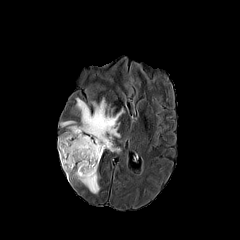
FLAIR MR image.
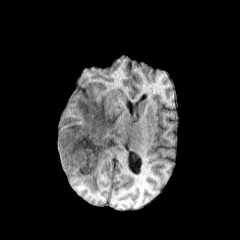
T1-weighted MRI.
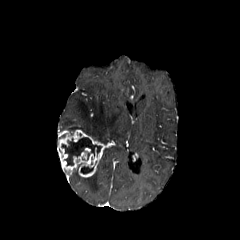
Same slice, post-contrast T1-weighted MR.
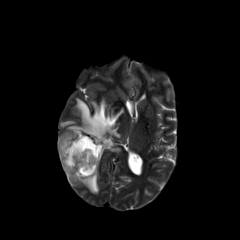
T2-weighted magnetic resonance.
Head
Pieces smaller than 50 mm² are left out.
The enhancing tumor is located at region(57, 129, 106, 177). 3 peritumoral edema regions appear at region(70, 166, 99, 193); region(68, 97, 125, 152); region(60, 120, 75, 126). The 2 largest necrotic tumor core regions are located at region(81, 166, 93, 173); region(61, 137, 101, 165).